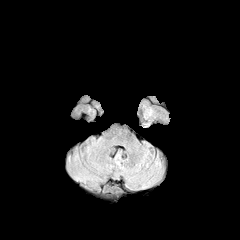
FLAIR magnetic resonance.
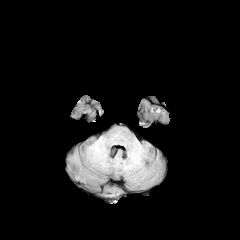
T1-weighted MR of the same slice.
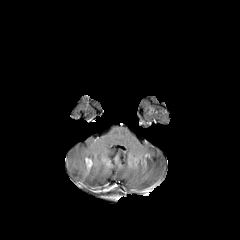
Post-contrast T1-weighted MR.
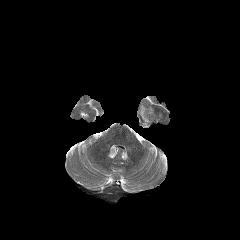
T2-weighted MR.
Brain
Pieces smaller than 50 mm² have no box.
The largest peritumoral edema region is at (144, 108, 152, 119).